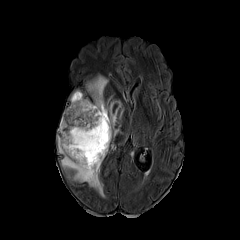
FLAIR MR.
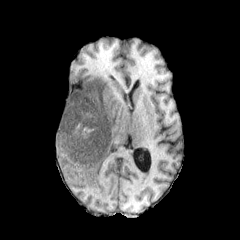
T1-weighted magnetic resonance of the same slice.
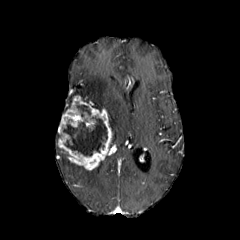
Same slice, post-contrast T1-weighted magnetic resonance.
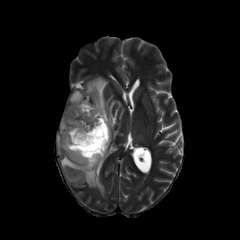
T2-weighted MR.
240x240, Brain
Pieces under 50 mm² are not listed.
necrotic_tumor_core:
  - [x1=63, y1=116, x2=107, y2=156]
  - [x1=77, y1=105, x2=90, y2=116]
peritumoral_edema:
  - [x1=70, y1=90, x2=90, y2=102]
  - [x1=86, y1=75, x2=121, y2=137]
  - [x1=58, y1=147, x2=104, y2=197]
enhancing_tumor:
  - [x1=58, y1=95, x2=112, y2=170]